Slice index 72; Head
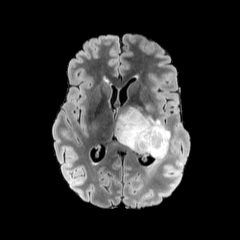
FLAIR MRI.
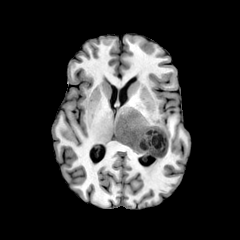
T1-weighted MRI.
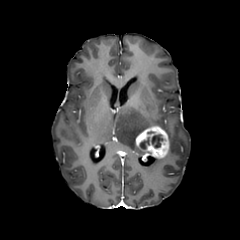
Post-contrast T1-weighted magnetic resonance.
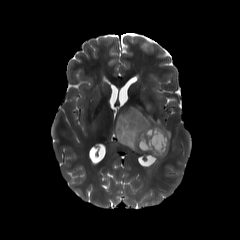
T2-weighted MRI of the same slice.
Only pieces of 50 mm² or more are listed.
necrotic tumor core at x1=140 y1=137 x2=149 y2=149, x1=151 y1=134 x2=162 y2=147
peritumoral edema at x1=115 y1=107 x2=170 y2=154
enhancing tumor at x1=135 y1=126 x2=169 y2=158